FLAIR MRI.
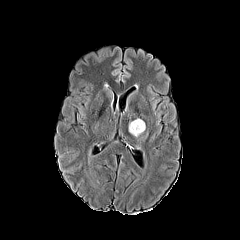
T1-weighted magnetic resonance.
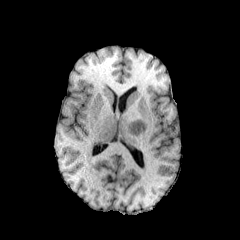
Post-contrast T1-weighted MR image.
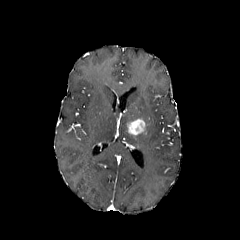
T2-weighted MRI.
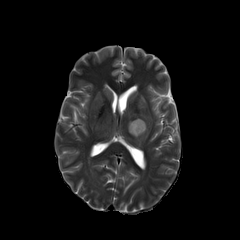
240x240 px, Head
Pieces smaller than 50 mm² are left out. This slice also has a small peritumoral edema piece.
enhancing_tumor:
  - box=[128, 119, 145, 135]